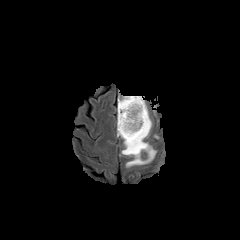
FLAIR MR.
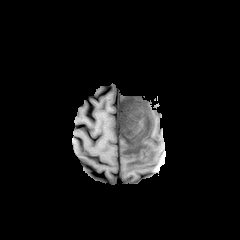
T1-weighted MR image.
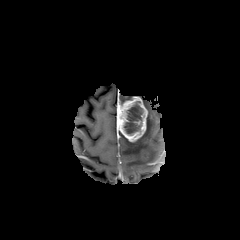
Post-contrast T1-weighted MR image.
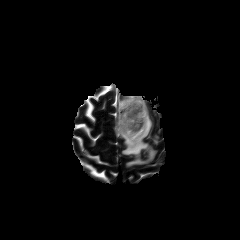
T2-weighted magnetic resonance.
Head. Axial plane.
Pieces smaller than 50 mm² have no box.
- peritumoral edema: region(116, 96, 156, 167)
- necrotic tumor core: region(124, 103, 142, 134)
- enhancing tumor: region(140, 149, 149, 161); region(118, 96, 147, 142)